FLAIR magnetic resonance.
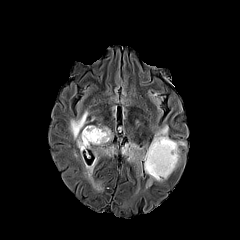
T1-weighted magnetic resonance.
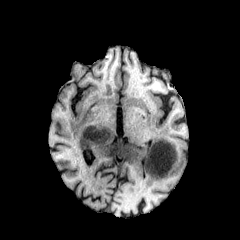
Post-contrast T1-weighted MRI.
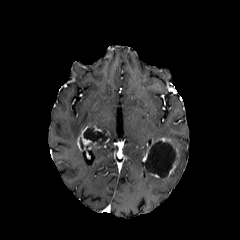
T2-weighted MRI.
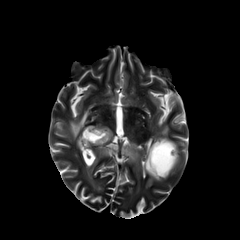
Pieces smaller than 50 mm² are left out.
<segmentation>
  <necrotic_tumor_core>rect(83, 126, 108, 142); rect(144, 141, 176, 178)</necrotic_tumor_core>
  <peritumoral_edema>rect(70, 111, 88, 139); rect(146, 176, 167, 187); rect(101, 126, 112, 138); rect(172, 140, 186, 147); rect(154, 125, 168, 140); rect(121, 141, 141, 161); rect(85, 142, 117, 190)</peritumoral_edema>
  <enhancing_tumor>rect(143, 137, 179, 176); rect(77, 125, 91, 150)</enhancing_tumor>
</segmentation>